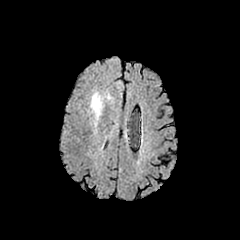
FLAIR magnetic resonance.
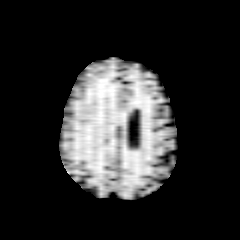
T1-weighted MR of the same slice.
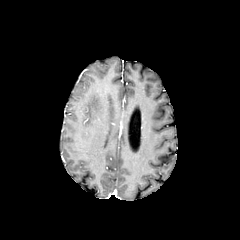
Post-contrast T1-weighted MRI.
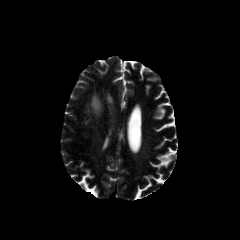
T2-weighted MR.
Axial slice
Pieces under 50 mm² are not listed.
The largest peritumoral edema region appears at x1=90, y1=92, x2=103, y2=126.